Axial view. Slice index 87. Brain.
FLAIR MR image.
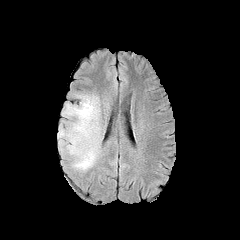
T1-weighted magnetic resonance.
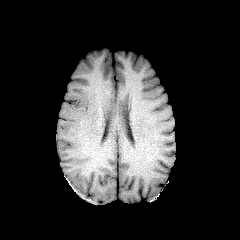
Post-contrast T1-weighted magnetic resonance.
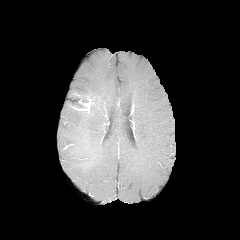
T2-weighted MR image.
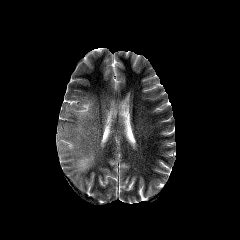
The peritumoral edema is located at (x1=58, y1=95, x2=100, y2=171).